Axial view | Slice index 39 | Head
FLAIR MRI.
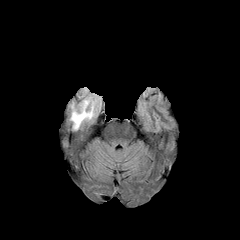
T1-weighted MRI.
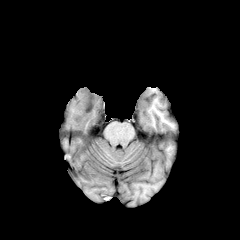
Post-contrast T1-weighted MR image.
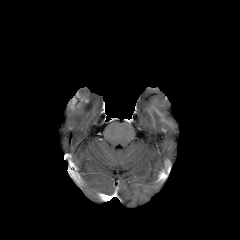
T2-weighted MR.
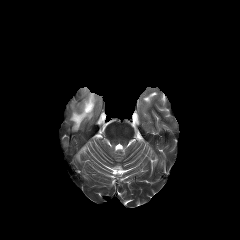
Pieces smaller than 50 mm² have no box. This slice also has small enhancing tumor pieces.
{"peritumoral_edema": ["region(70, 88, 101, 130)"]}